FLAIR MR.
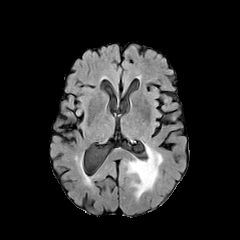
T1-weighted MR.
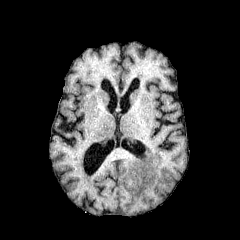
Post-contrast T1-weighted magnetic resonance.
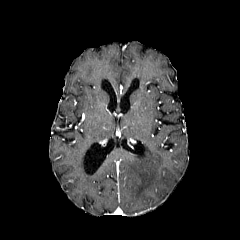
T2-weighted MRI.
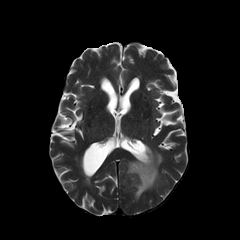
Axial view | Brain
peritumoral edema: bounding box 127 145 162 199